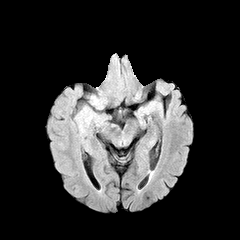
FLAIR MRI.
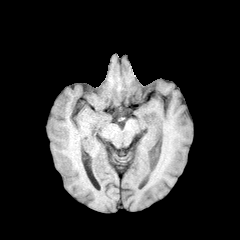
Same slice, T1-weighted MRI.
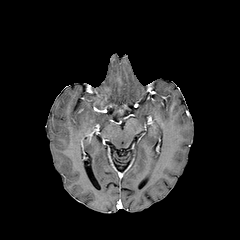
Post-contrast T1-weighted MR image.
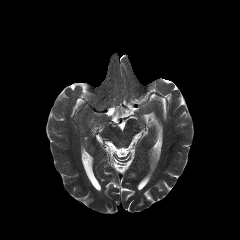
T2-weighted MR image.
Axial view, 240x240 px
peritumoral edema: 90, 95, 103, 108; 76, 106, 93, 129